FLAIR magnetic resonance.
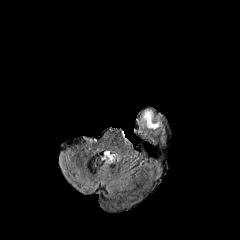
T1-weighted magnetic resonance.
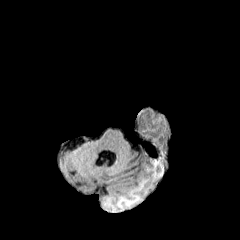
Post-contrast T1-weighted MR.
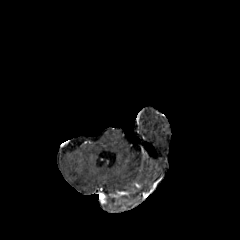
T2-weighted MR.
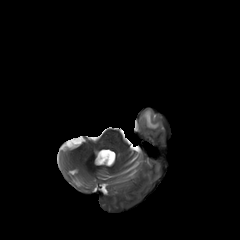
{
  "peritumoral_edema": [
    "bbox(143, 110, 159, 128)"
  ]
}